FLAIR magnetic resonance.
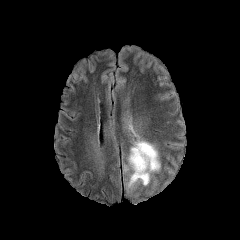
T1-weighted MR image.
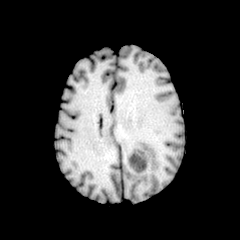
Post-contrast T1-weighted MR.
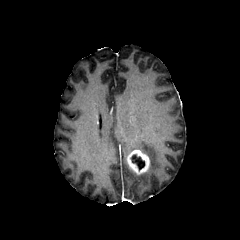
T2-weighted magnetic resonance.
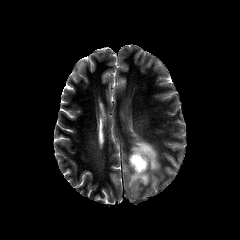
Axial plane | Brain
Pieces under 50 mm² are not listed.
The necrotic tumor core is at [131,155,144,170]. The largest peritumoral edema region is at [128,140,160,187]. The enhancing tumor is located at [127,149,149,174].